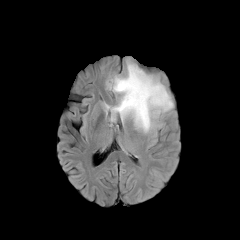
FLAIR MR.
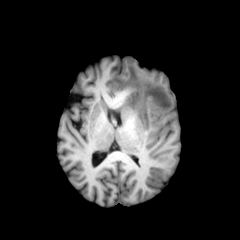
Same slice, T1-weighted MR image.
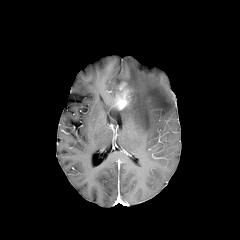
Same slice, post-contrast T1-weighted MR image.
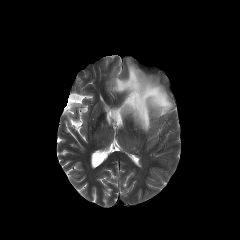
T2-weighted MR image.
Image size 240x240
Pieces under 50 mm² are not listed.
The largest peritumoral edema region is at [x1=110, y1=61, x2=173, y2=132]. The largest enhancing tumor region is at [x1=118, y1=98, x2=128, y2=109].